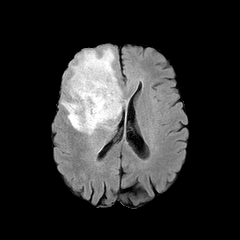
FLAIR MR.
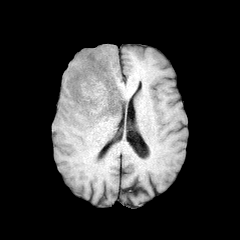
T1-weighted MRI of the same slice.
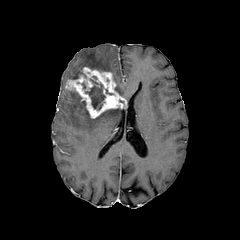
Post-contrast T1-weighted MR image.
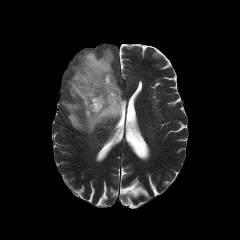
Same slice, T2-weighted MRI.
Brain. Axial plane.
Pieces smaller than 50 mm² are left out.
{
  "peritumoral_edema": [
    "box(70, 48, 122, 95)",
    "box(61, 91, 121, 134)"
  ],
  "enhancing_tumor": [
    "box(65, 67, 126, 118)"
  ],
  "necrotic_tumor_core": [
    "box(85, 79, 105, 109)"
  ]
}